FLAIR magnetic resonance.
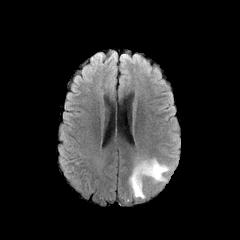
T1-weighted magnetic resonance.
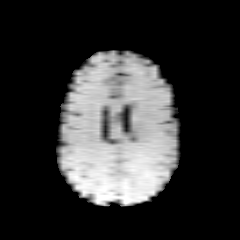
Post-contrast T1-weighted magnetic resonance.
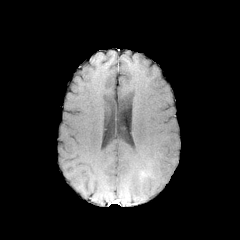
T2-weighted MRI.
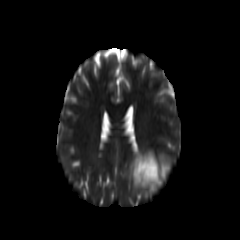
Axial view
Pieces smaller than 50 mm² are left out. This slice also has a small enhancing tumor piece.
The peritumoral edema is bounded by l=129, t=157, r=170, b=198.